Image width 240 mm, 1.00 mm slice spacing | Head
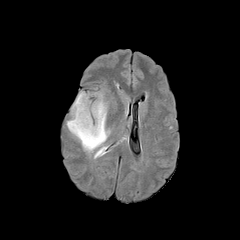
FLAIR magnetic resonance.
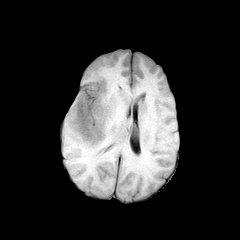
Same slice, T1-weighted MRI.
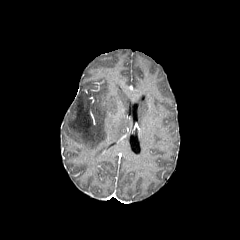
Post-contrast T1-weighted MRI.
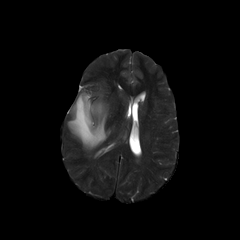
T2-weighted MR.
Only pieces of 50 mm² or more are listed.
The largest peritumoral edema region is bounded by [x1=67, y1=92, x2=109, y2=152].